Head. Slice index 57.
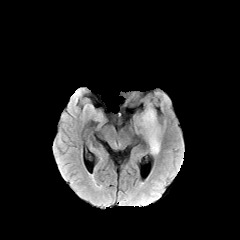
FLAIR MR.
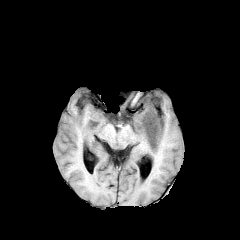
T1-weighted MR image of the same slice.
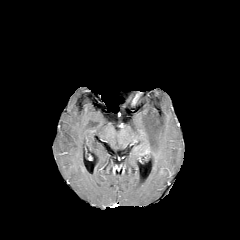
Post-contrast T1-weighted magnetic resonance of the same slice.
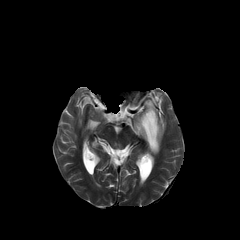
T2-weighted MR image.
Findings:
* peritumoral edema: l=135, t=103, r=161, b=153